FLAIR MR.
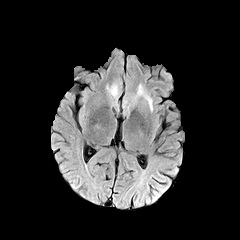
T1-weighted MRI.
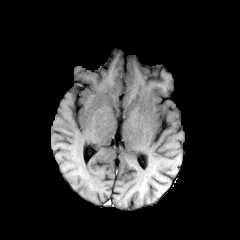
Post-contrast T1-weighted MRI.
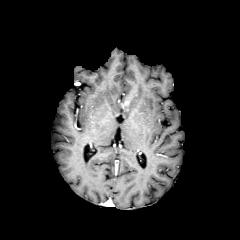
T2-weighted magnetic resonance.
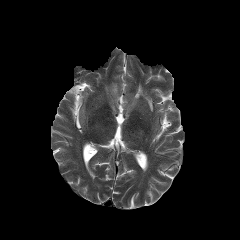
Brain
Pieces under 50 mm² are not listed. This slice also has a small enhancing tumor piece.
{"peritumoral_edema": ["106, 83, 118, 105", "120, 98, 130, 111", "132, 84, 153, 111"]}